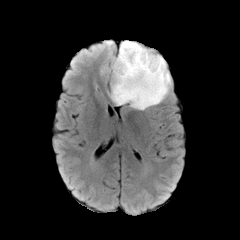
FLAIR MR.
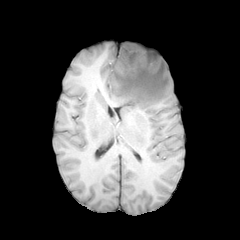
T1-weighted MRI.
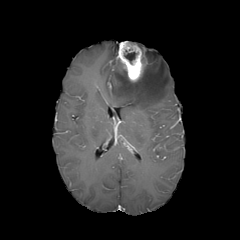
Post-contrast T1-weighted MR.
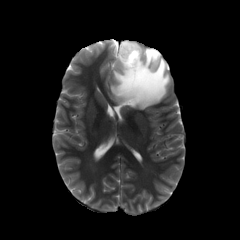
T2-weighted MRI of the same slice.
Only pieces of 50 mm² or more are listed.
The enhancing tumor appears at <box>116,41,147,81</box>. The peritumoral edema is at <box>110,44,171,109</box>. The largest necrotic tumor core region is located at <box>124,52,136,63</box>.